FLAIR magnetic resonance.
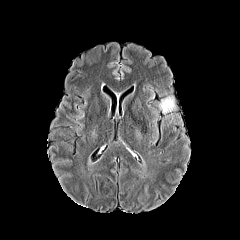
T1-weighted MR.
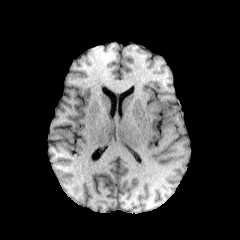
Post-contrast T1-weighted MR image.
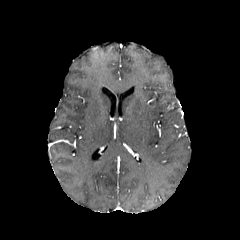
T2-weighted magnetic resonance.
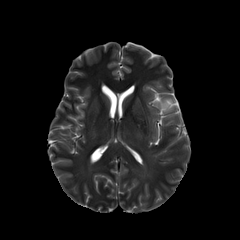
Brain; Axial view
The peritumoral edema appears at rect(159, 96, 176, 113).